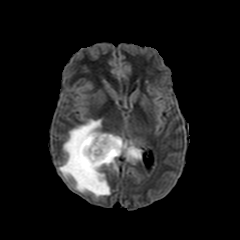
FLAIR magnetic resonance.
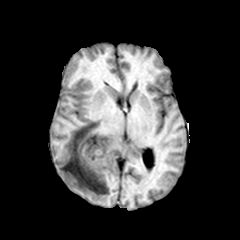
T1-weighted MRI.
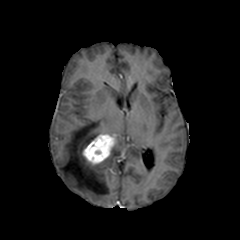
Post-contrast T1-weighted MR image of the same slice.
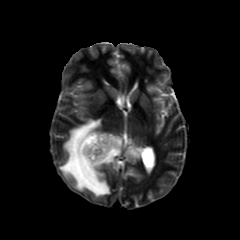
T2-weighted magnetic resonance of the same slice.
240x240. Brain.
Annotated regions:
- peritumoral edema: box=[59, 119, 141, 198]
- enhancing tumor: box=[82, 134, 116, 165]